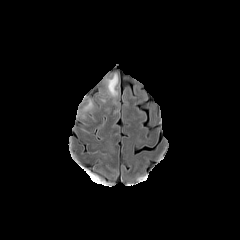
FLAIR MR image.
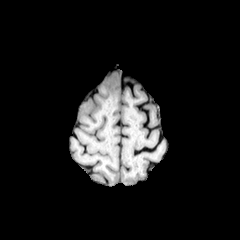
T1-weighted magnetic resonance.
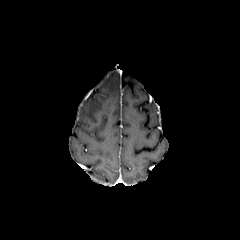
Same slice, post-contrast T1-weighted MR image.
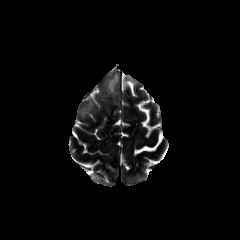
T2-weighted magnetic resonance of the same slice.
Brain; Axial view
peritumoral edema: {"x1": 105, "y1": 73, "x2": 119, "y2": 98}, {"x1": 82, "y1": 101, "x2": 93, "y2": 116}